Slice 41/155
FLAIR MR.
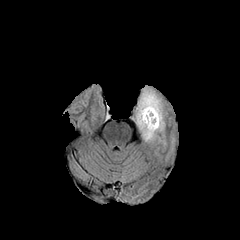
T1-weighted magnetic resonance.
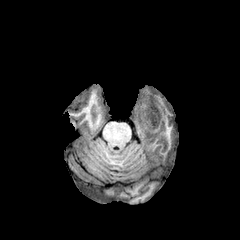
Post-contrast T1-weighted MRI.
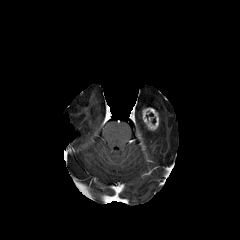
T2-weighted MRI.
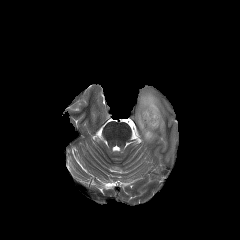
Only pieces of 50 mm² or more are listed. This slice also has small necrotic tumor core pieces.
The peritumoral edema appears at box(136, 89, 164, 141). The enhancing tumor is located at box(142, 107, 159, 130).